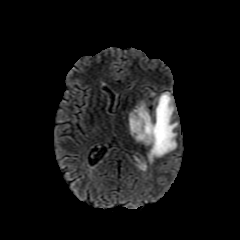
FLAIR MR.
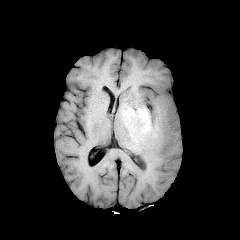
T1-weighted MR image of the same slice.
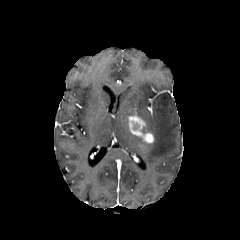
Post-contrast T1-weighted MRI.
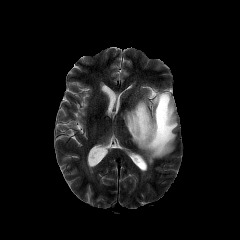
T2-weighted MRI of the same slice.
Axial plane; Brain
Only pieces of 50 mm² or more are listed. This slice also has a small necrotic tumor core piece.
enhancing_tumor:
  - (x1=128, y1=113, x2=154, y2=143)
peritumoral_edema:
  - (x1=128, y1=92, x2=178, y2=163)